FLAIR MR.
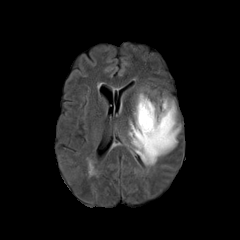
T1-weighted MR.
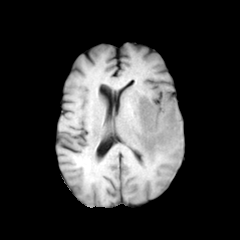
Post-contrast T1-weighted magnetic resonance.
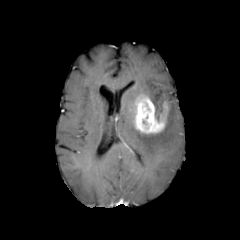
T2-weighted MR.
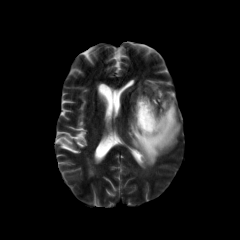
Axial view
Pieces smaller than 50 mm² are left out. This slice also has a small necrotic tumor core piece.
The enhancing tumor lies within [133,95,168,134]. The largest peritumoral edema region is bounded by [128,97,180,166].